Slice 91 of 155; Head; Axial plane
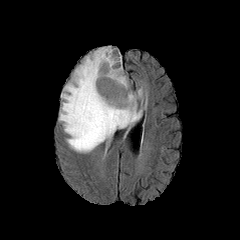
FLAIR MRI.
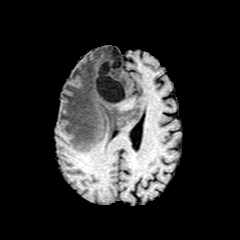
T1-weighted MR image.
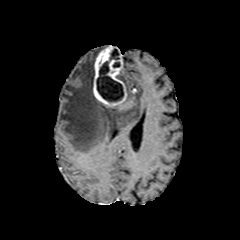
Post-contrast T1-weighted magnetic resonance of the same slice.
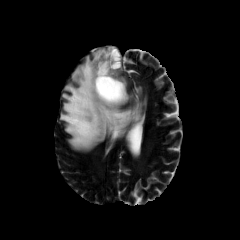
T2-weighted magnetic resonance of the same slice.
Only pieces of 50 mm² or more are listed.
The enhancing tumor is located at (93,45,127,107). The 2 largest necrotic tumor core regions appear at (96,61,123,101), (110,48,119,60). 2 peritumoral edema regions appear at (59,47,142,152), (118,69,127,89).